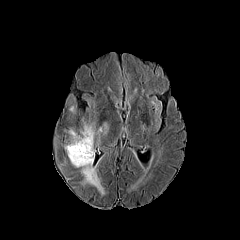
FLAIR magnetic resonance.
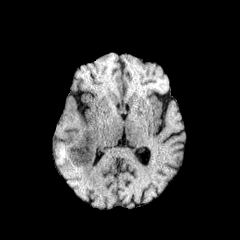
T1-weighted MR image.
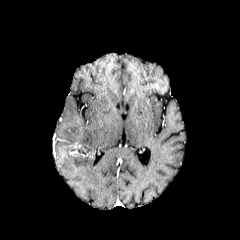
Post-contrast T1-weighted MR.
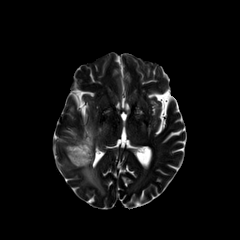
T2-weighted magnetic resonance of the same slice.
Brain
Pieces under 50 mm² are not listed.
{"peritumoral_edema": ["[x1=64, y1=124, x2=104, y2=194]"], "necrotic_tumor_core": ["[x1=78, y1=145, x2=89, y2=154]"], "enhancing_tumor": ["[x1=69, y1=143, x2=92, y2=157]"]}